Image width 240 mm, 1.00 mm slice spacing | Axial plane | Slice index 134 | 240x240 px
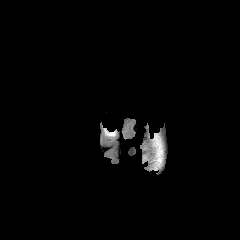
FLAIR MR.
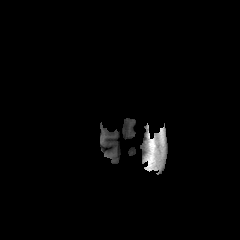
Same slice, T1-weighted MRI.
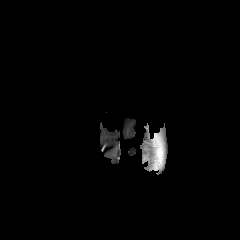
Post-contrast T1-weighted magnetic resonance.
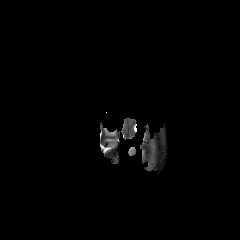
Same slice, T2-weighted MRI.
peritumoral edema: bounding box box(103, 128, 116, 136)